FLAIR MR image.
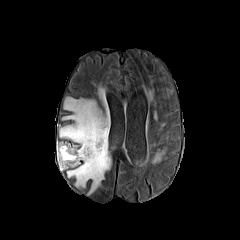
T1-weighted MR image.
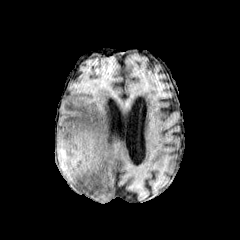
Post-contrast T1-weighted MR image.
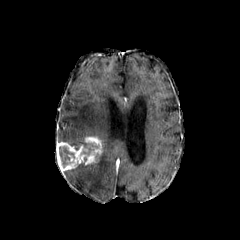
T2-weighted MR.
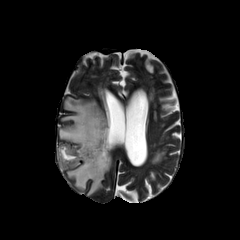
Head | Axial plane
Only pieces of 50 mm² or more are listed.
The peritumoral edema is at box=[59, 92, 111, 193]. The 2 largest necrotic tumor core regions appear at box=[59, 147, 74, 166]; box=[81, 141, 96, 154]. The enhancing tumor appears at box=[58, 136, 103, 172].